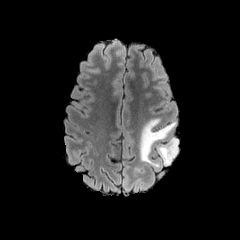
FLAIR MR image.
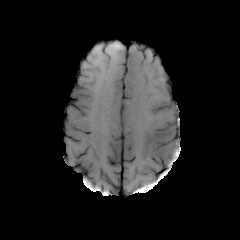
Same slice, T1-weighted magnetic resonance.
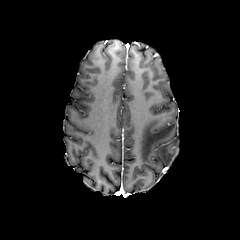
Post-contrast T1-weighted magnetic resonance.
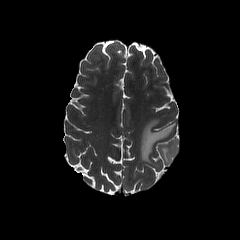
T2-weighted MR image.
Brain, Axial plane, 240x240 px
peritumoral edema: <box>139,118,175,168</box>, <box>158,137,178,164</box>